Image size 240x240, Axial slice, Brain
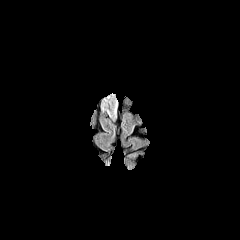
FLAIR MR.
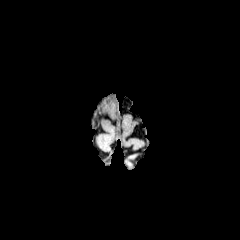
Same slice, T1-weighted MRI.
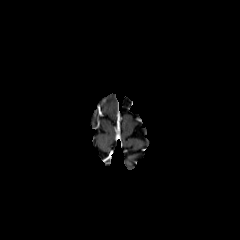
Post-contrast T1-weighted MR of the same slice.
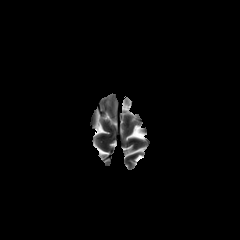
T2-weighted magnetic resonance of the same slice.
The peritumoral edema is bounded by (101,94,117,120).